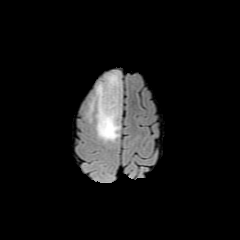
FLAIR magnetic resonance.
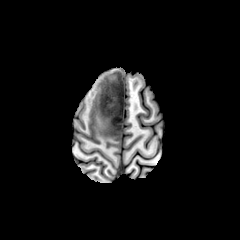
T1-weighted MR image of the same slice.
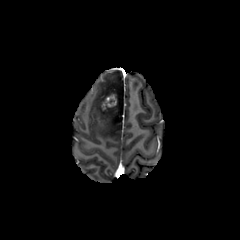
Post-contrast T1-weighted MR image.
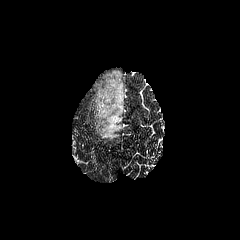
Same slice, T2-weighted MR image.
Head
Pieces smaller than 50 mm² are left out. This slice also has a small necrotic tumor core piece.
peritumoral_edema:
  - (x1=88, y1=71, x2=122, y2=142)
enhancing_tumor:
  - (x1=101, y1=94, x2=116, y2=109)